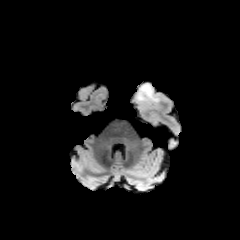
FLAIR MR image.
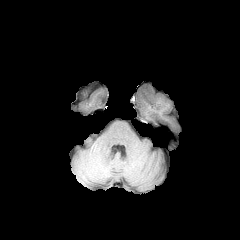
Same slice, T1-weighted magnetic resonance.
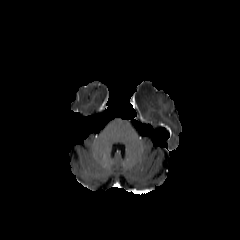
Post-contrast T1-weighted MR.
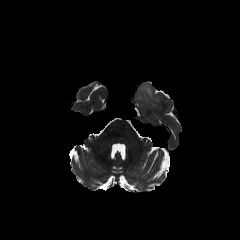
T2-weighted MRI.
Head. Axial view.
The peritumoral edema is bounded by <box>136,84,156,102</box>.